Brain
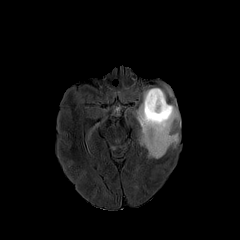
FLAIR MR.
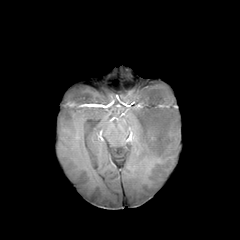
T1-weighted MR image of the same slice.
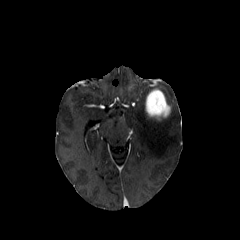
Same slice, post-contrast T1-weighted MR image.
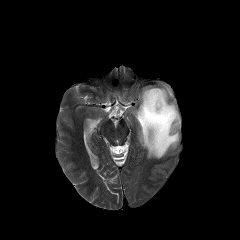
Same slice, T2-weighted MRI.
Segmented structures:
- peritumoral edema: [x1=133, y1=85, x2=180, y2=158]
- enhancing tumor: [x1=145, y1=88, x2=171, y2=120]